Head; Image width 240 mm, 1.00 mm slice spacing; Slice 55/155
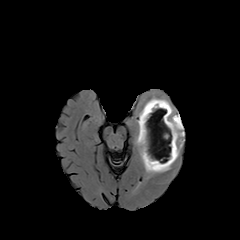
FLAIR MRI.
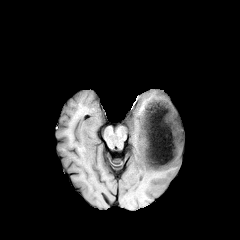
Same slice, T1-weighted magnetic resonance.
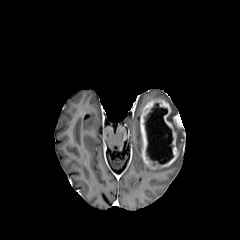
Post-contrast T1-weighted magnetic resonance.
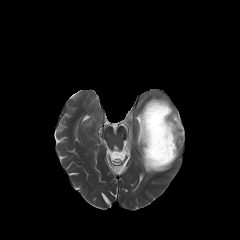
T2-weighted magnetic resonance.
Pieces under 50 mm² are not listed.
enhancing tumor: 140:99:184:169 | necrotic tumor core: 145:103:173:165 | peritumoral edema: 177:135:184:154, 135:110:171:173